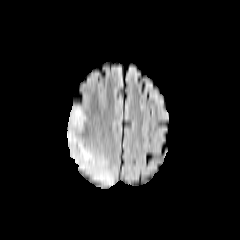
FLAIR MR.
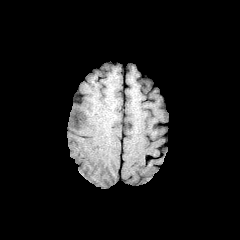
T1-weighted MR image.
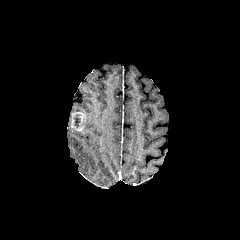
Same slice, post-contrast T1-weighted MR.
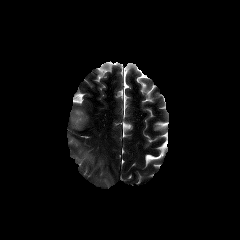
T2-weighted MRI.
Brain; Axial plane
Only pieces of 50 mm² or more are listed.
The necrotic tumor core lies within (left=74, top=114, right=80, bottom=127). The largest peritumoral edema region is located at (left=67, top=107, right=113, bottom=184). The enhancing tumor is bounded by (left=70, top=111, right=86, bottom=130).